FLAIR MRI.
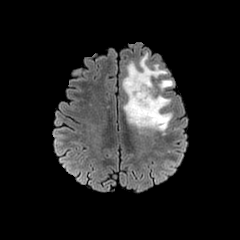
T1-weighted magnetic resonance.
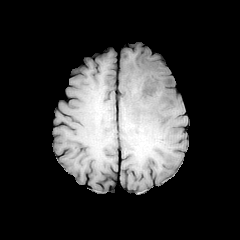
Post-contrast T1-weighted MRI.
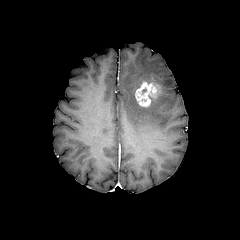
T2-weighted MR.
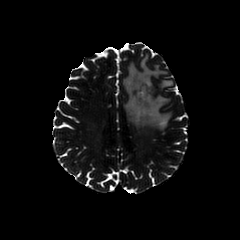
Head
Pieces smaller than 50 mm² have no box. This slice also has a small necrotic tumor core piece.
peritumoral edema: [x1=122, y1=54, x2=173, y2=131]
enhancing tumor: [x1=135, y1=80, x2=160, y2=107]